FLAIR magnetic resonance.
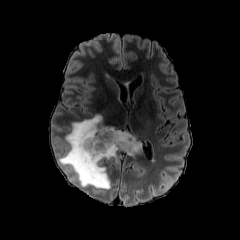
T1-weighted magnetic resonance.
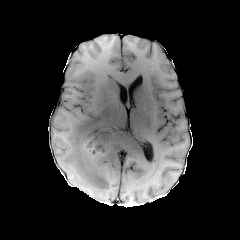
Post-contrast T1-weighted MR image.
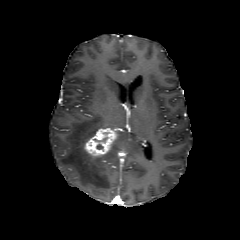
T2-weighted MR image.
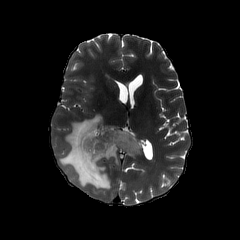
Head.
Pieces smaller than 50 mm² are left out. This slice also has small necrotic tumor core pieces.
Segmented structures:
- peritumoral edema: l=59, t=114, r=141, b=189
- enhancing tumor: l=83, t=128, r=119, b=157